Image width 240 mm, Axial view, Slice index 118
FLAIR MR.
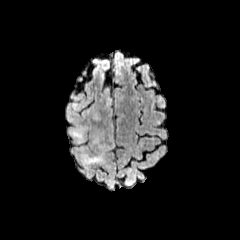
T1-weighted magnetic resonance.
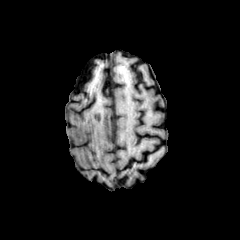
Post-contrast T1-weighted MR.
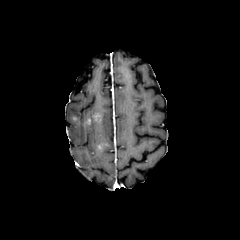
T2-weighted magnetic resonance.
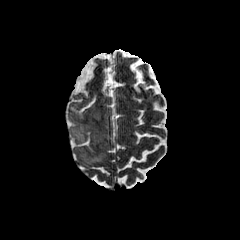
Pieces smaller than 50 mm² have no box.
enhancing tumor: 93,113,100,121 | peritumoral edema: 80,153,103,165; 69,118,87,142